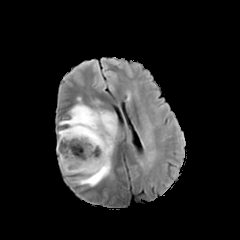
FLAIR MR.
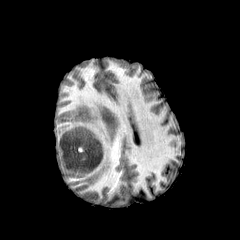
T1-weighted magnetic resonance.
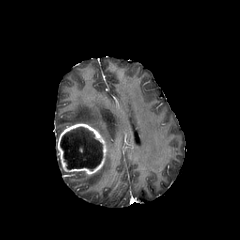
Same slice, post-contrast T1-weighted magnetic resonance.
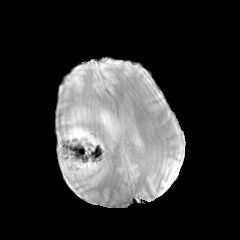
T2-weighted magnetic resonance of the same slice.
Axial view
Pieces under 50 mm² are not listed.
peritumoral edema — <box>58,104,118,186</box>
necrotic tumor core — <box>60,127,102,169</box>
enhancing tumor — <box>56,123,106,175</box>